FLAIR MRI.
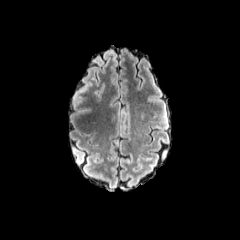
T1-weighted magnetic resonance.
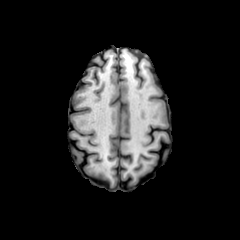
Post-contrast T1-weighted MR.
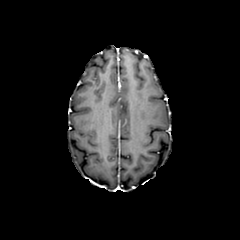
T2-weighted MR image.
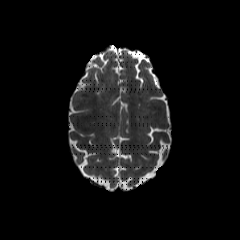
The peritumoral edema is located at 82, 120, 91, 128.